Slice index 67 | Axial plane | Brain
FLAIR magnetic resonance.
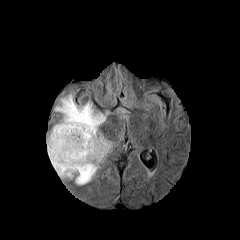
T1-weighted MR image.
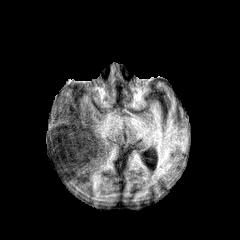
Post-contrast T1-weighted magnetic resonance.
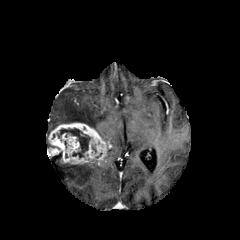
T2-weighted MRI.
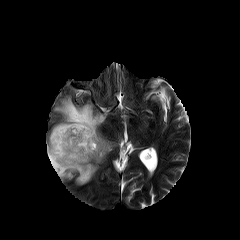
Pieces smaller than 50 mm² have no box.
Annotated regions:
• peritumoral edema: (x1=52, y1=95, x2=109, y2=141), (x1=50, y1=159, x2=99, y2=185)
• enhancing tumor: (x1=47, y1=122, x2=111, y2=164)
• necrotic tumor core: (x1=57, y1=128, x2=89, y2=157)